FLAIR MR image.
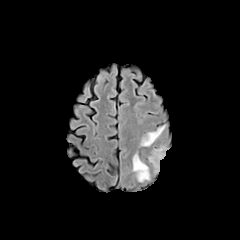
T1-weighted magnetic resonance.
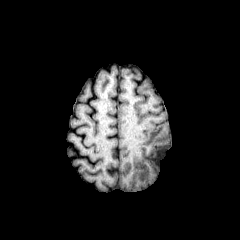
Post-contrast T1-weighted MR image.
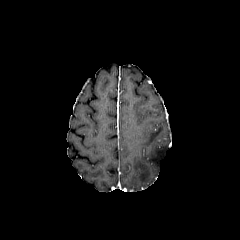
T2-weighted magnetic resonance.
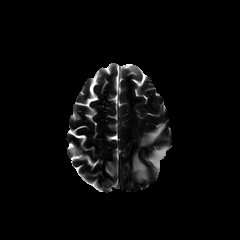
Annotated regions:
* peritumoral edema: (left=133, top=154, right=149, bottom=181), (left=141, top=125, right=164, bottom=146), (left=149, top=147, right=166, bottom=171)